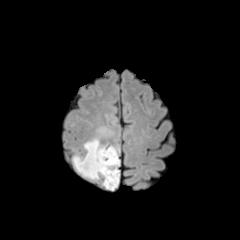
FLAIR MR.
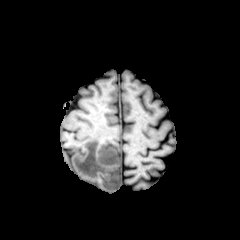
T1-weighted magnetic resonance.
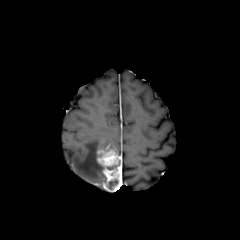
Post-contrast T1-weighted MR of the same slice.
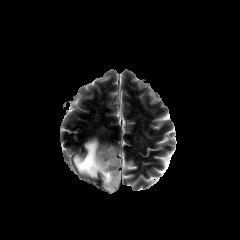
T2-weighted MR.
Axial slice, Head
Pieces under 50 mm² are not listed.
The enhancing tumor lies within (x1=97, y1=149, x2=120, y2=191). The peritumoral edema lies within (x1=73, y1=139, x2=117, y2=178). The largest necrotic tumor core region is at (x1=108, y1=180, x2=117, y2=189).